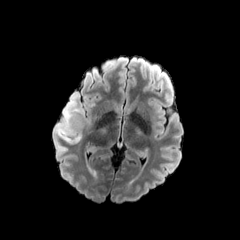
FLAIR magnetic resonance.
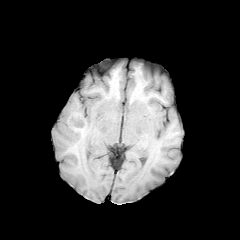
Same slice, T1-weighted MR.
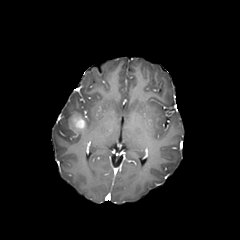
Post-contrast T1-weighted MR.
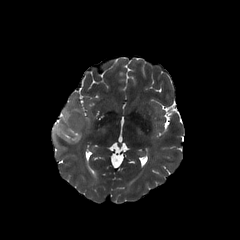
T2-weighted MR image.
Brain. Axial plane.
enhancing tumor = left=68, top=113, right=85, bottom=134
peritumoral edema = left=58, top=101, right=81, bottom=144